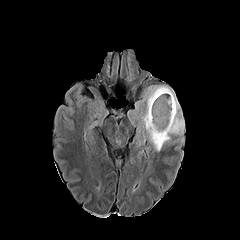
FLAIR MR image.
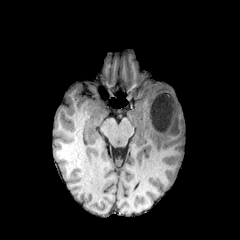
Same slice, T1-weighted MR.
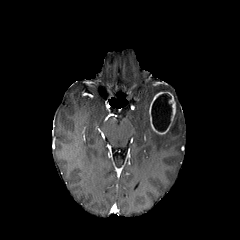
Same slice, post-contrast T1-weighted MR image.
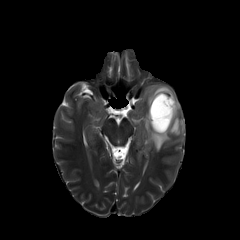
T2-weighted MRI of the same slice.
Axial view. Brain. Image size 240x240.
The peritumoral edema is located at box(142, 85, 184, 151). The enhancing tumor is located at box(149, 91, 175, 134). The necrotic tumor core lies within box(151, 93, 172, 131).